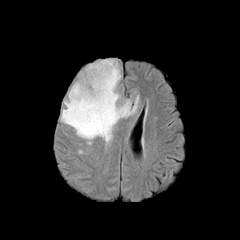
FLAIR MR.
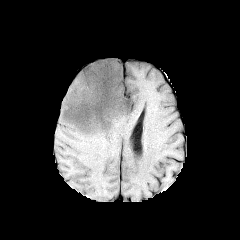
T1-weighted MR.
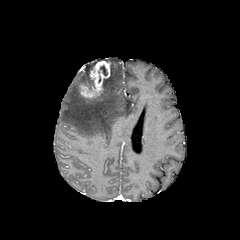
Same slice, post-contrast T1-weighted MRI.
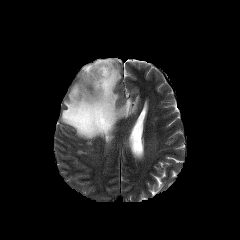
T2-weighted MR.
Image size 240x240.
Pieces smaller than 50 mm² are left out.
necrotic tumor core = <bbox>83, 77, 94, 89</bbox>
peritumoral edema = <bbox>61, 59, 139, 147</bbox>
enhancing tumor = <bbox>80, 61, 111, 98</bbox>